Image width 240 mm, 1.00 mm slice spacing; Brain; Slice 124/155; 240x240
FLAIR MR.
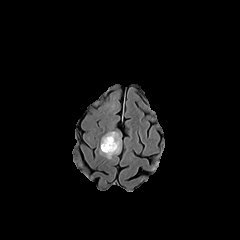
T1-weighted magnetic resonance.
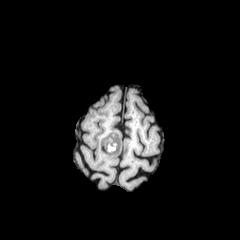
Post-contrast T1-weighted MR image.
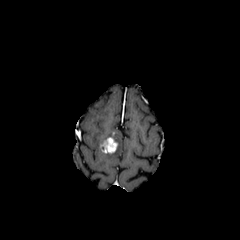
T2-weighted MR.
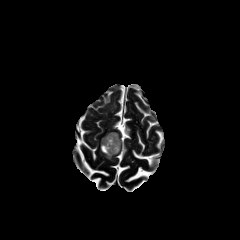
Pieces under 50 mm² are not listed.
Segmented structures:
• peritumoral edema: bbox=[99, 131, 121, 159]
• enhancing tumor: bbox=[100, 137, 117, 153]